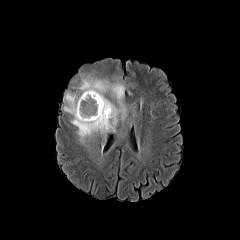
FLAIR MR image.
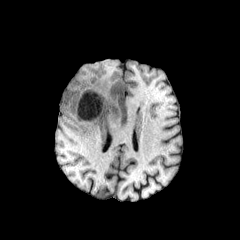
Same slice, T1-weighted MR.
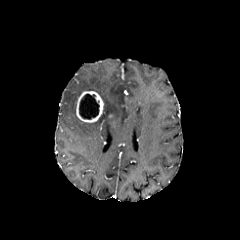
Same slice, post-contrast T1-weighted MR image.
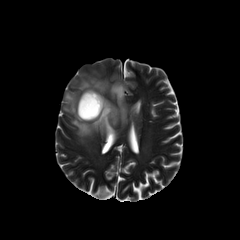
T2-weighted MRI of the same slice.
240x240 px
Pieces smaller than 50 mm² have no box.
enhancing tumor — region(76, 91, 103, 122)
peritumoral edema — region(63, 67, 125, 140)
necrotic tumor core — region(79, 94, 99, 119)